Image size 240x240 | Axial plane
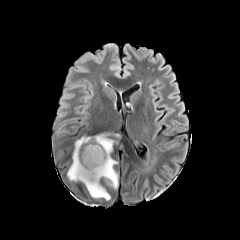
FLAIR MR image.
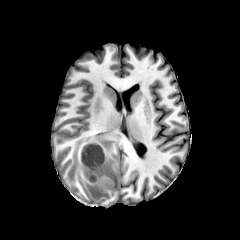
T1-weighted MR image.
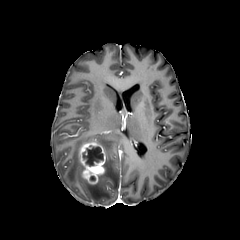
Post-contrast T1-weighted MR image.
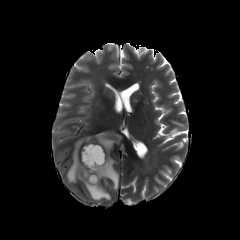
T2-weighted MR.
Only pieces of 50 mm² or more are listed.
2 peritumoral edema regions appear at {"x1": 67, "y1": 136, "x2": 110, "y2": 200}, {"x1": 94, "y1": 133, "x2": 120, "y2": 189}. The enhancing tumor appears at {"x1": 80, "y1": 141, "x2": 105, "y2": 184}. The largest necrotic tumor core region is bounded by {"x1": 83, "y1": 146, "x2": 103, "y2": 166}.